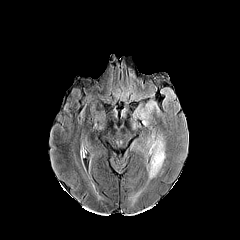
FLAIR MR.
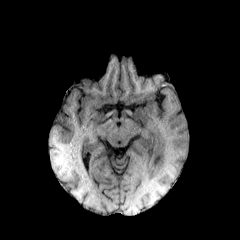
Same slice, T1-weighted MR.
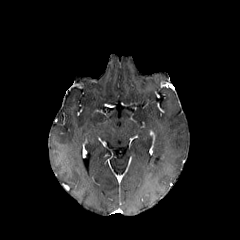
Post-contrast T1-weighted MRI.
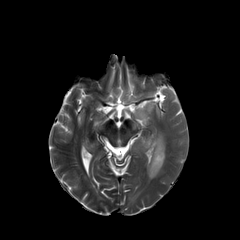
Same slice, T2-weighted magnetic resonance.
Axial plane
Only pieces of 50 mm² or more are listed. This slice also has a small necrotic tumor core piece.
<segmentation>
  <peritumoral_edema>bbox(134, 103, 153, 125); bbox(140, 134, 165, 179)</peritumoral_edema>
</segmentation>